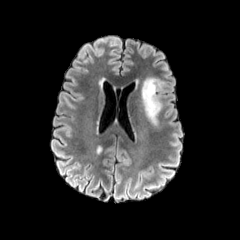
FLAIR MR image.
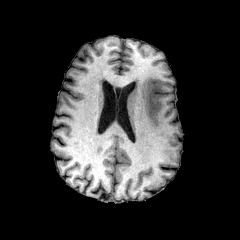
T1-weighted magnetic resonance.
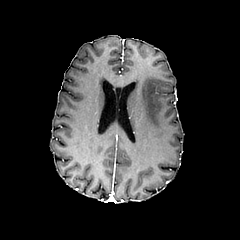
Post-contrast T1-weighted MRI.
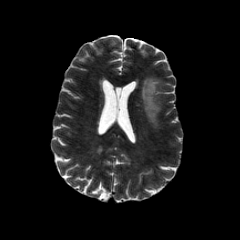
T2-weighted MRI.
Brain
Segmented structures:
- peritumoral edema: 141,78,161,126